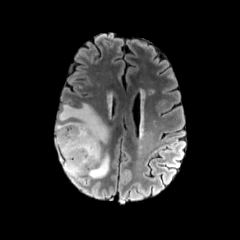
FLAIR magnetic resonance.
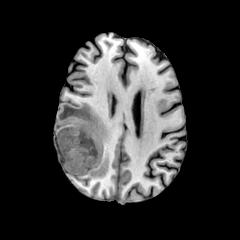
T1-weighted magnetic resonance.
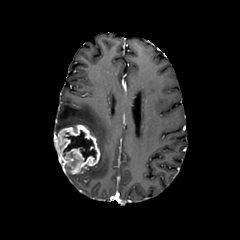
Post-contrast T1-weighted MR image.
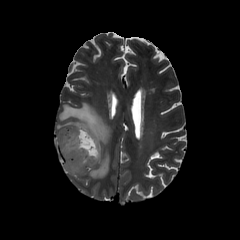
T2-weighted magnetic resonance.
Axial slice, Head
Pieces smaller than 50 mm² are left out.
The peritumoral edema is at box(55, 102, 110, 178). The largest necrotic tumor core region is bounded by box(63, 130, 96, 161). The enhancing tumor is bounded by box(54, 124, 100, 174).